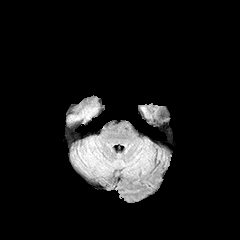
FLAIR MRI.
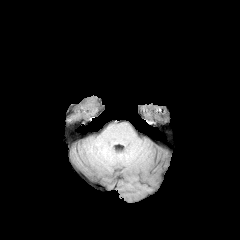
T1-weighted magnetic resonance.
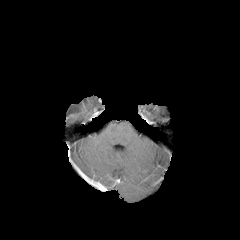
Post-contrast T1-weighted magnetic resonance.
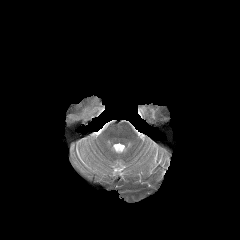
T2-weighted magnetic resonance of the same slice.
Head. 240x240 px.
peritumoral_edema:
  - (x1=66, y1=97, x2=99, y2=124)